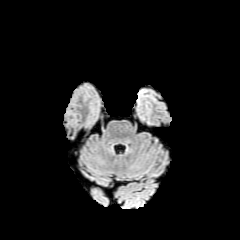
FLAIR magnetic resonance.
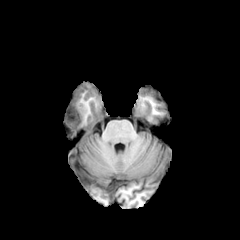
Same slice, T1-weighted magnetic resonance.
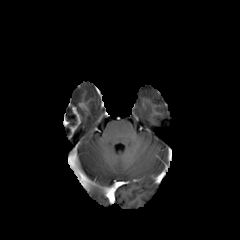
Post-contrast T1-weighted MR.
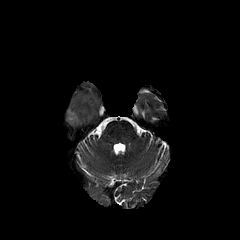
Same slice, T2-weighted MR image.
Head | 240x240 px | Axial view
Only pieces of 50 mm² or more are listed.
<segmentation>
  <enhancing_tumor>70 106 81 131</enhancing_tumor>
  <necrotic_tumor_core>65 106 77 126</necrotic_tumor_core>
  <peritumoral_edema>70 93 86 117</peritumoral_edema>
</segmentation>